Image width 240 mm. 240x240 px.
FLAIR magnetic resonance.
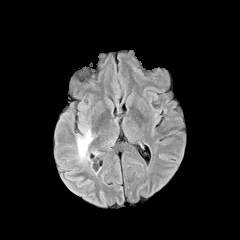
T1-weighted MRI.
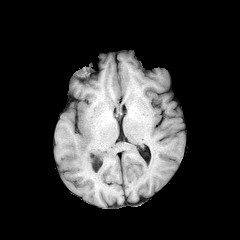
Post-contrast T1-weighted MRI.
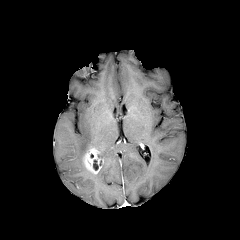
T2-weighted MR.
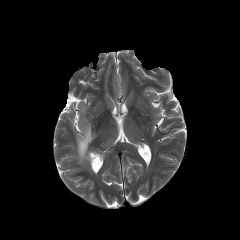
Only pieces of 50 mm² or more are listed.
enhancing tumor: <box>84,149,100,173</box> | peritumoral edema: <box>76,124,94,164</box> | necrotic tumor core: <box>93,159,99,170</box>